Head.
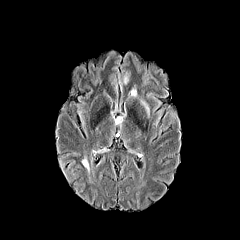
FLAIR MR image.
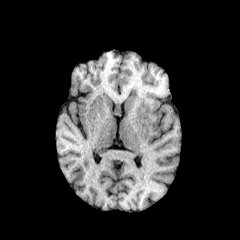
Same slice, T1-weighted MR image.
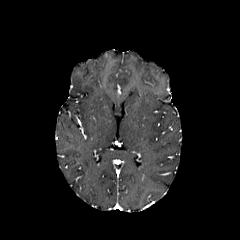
Post-contrast T1-weighted magnetic resonance.
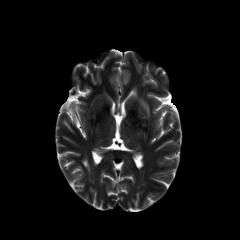
T2-weighted magnetic resonance of the same slice.
Annotated regions:
- peritumoral edema: [x1=129, y1=85, x2=137, y2=97], [x1=120, y1=71, x2=131, y2=85], [x1=139, y1=97, x2=150, y2=120], [x1=80, y1=156, x2=88, y2=170]